FLAIR magnetic resonance.
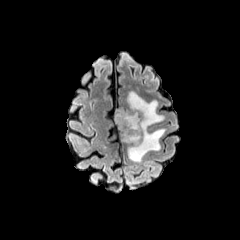
T1-weighted magnetic resonance.
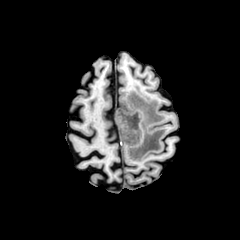
Post-contrast T1-weighted MR image.
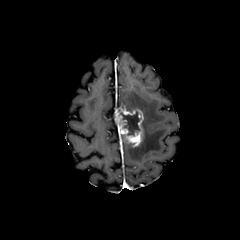
T2-weighted magnetic resonance.
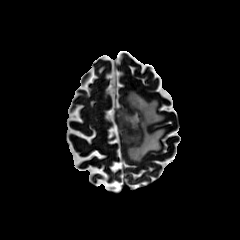
Axial slice
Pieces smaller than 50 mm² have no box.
enhancing tumor: bounding box region(115, 107, 143, 146)
necrotic tumor core: bounding box region(120, 111, 139, 134)
peritumoral edema: bounding box region(126, 91, 165, 161)